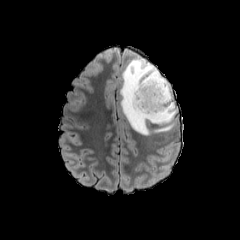
FLAIR MRI.
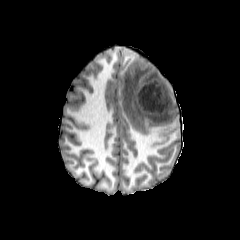
T1-weighted MRI.
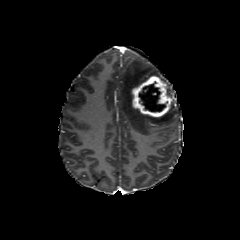
Post-contrast T1-weighted magnetic resonance of the same slice.
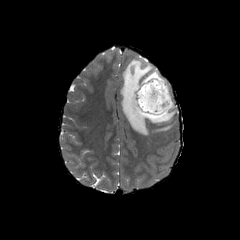
T2-weighted MR image of the same slice.
Head
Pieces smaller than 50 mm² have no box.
enhancing tumor: [130, 75, 172, 119] | necrotic tumor core: [139, 81, 165, 111] | peritumoral edema: [119, 57, 176, 135]